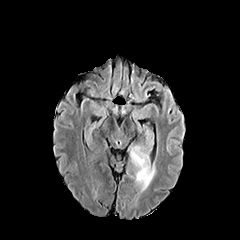
FLAIR MR.
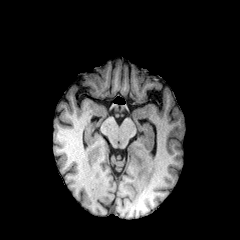
T1-weighted magnetic resonance.
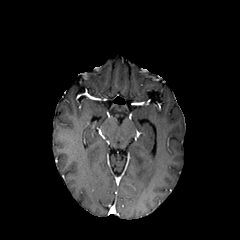
Post-contrast T1-weighted MR of the same slice.
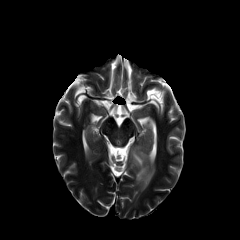
T2-weighted magnetic resonance.
Image size 240x240, Brain
<segmentation>
  <peritumoral_edema><bbox>131, 145, 155, 191</bbox></peritumoral_edema>
</segmentation>